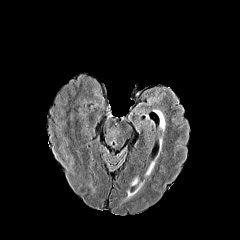
FLAIR magnetic resonance.
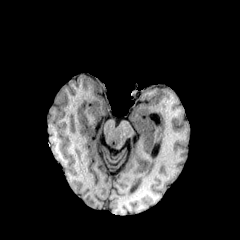
Same slice, T1-weighted magnetic resonance.
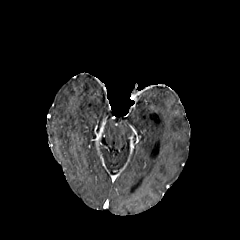
Same slice, post-contrast T1-weighted magnetic resonance.
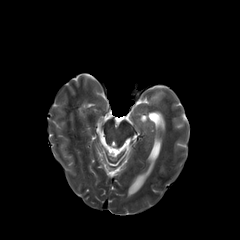
T2-weighted MRI.
Axial plane | Head
The peritumoral edema is at bbox(156, 111, 165, 132).